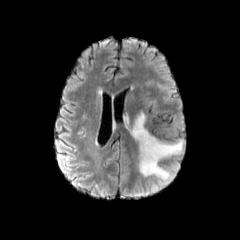
FLAIR MRI.
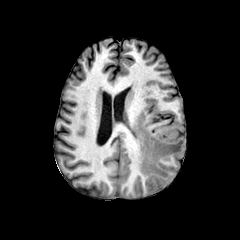
T1-weighted MR image.
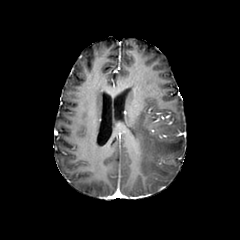
Post-contrast T1-weighted magnetic resonance.
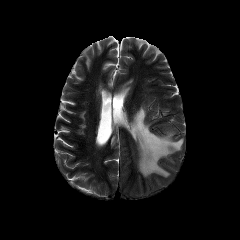
Same slice, T2-weighted MR image.
peritumoral_edema:
  - 131, 112, 182, 178